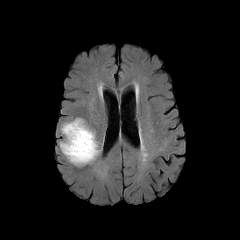
FLAIR MRI.
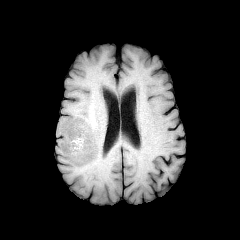
T1-weighted magnetic resonance.
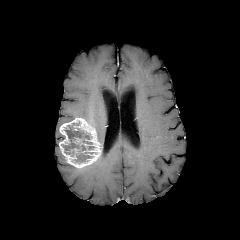
Post-contrast T1-weighted MR image of the same slice.
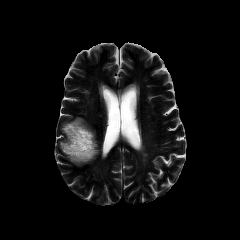
T2-weighted MR image.
Head | Axial plane
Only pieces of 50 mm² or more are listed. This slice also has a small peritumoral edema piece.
necrotic_tumor_core:
  - (x1=62, y1=122, x2=93, y2=163)
enhancing_tumor:
  - (x1=59, y1=117, x2=101, y2=168)